Brain
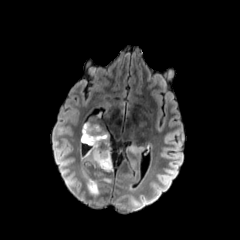
FLAIR MR.
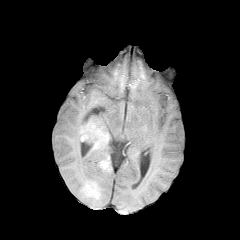
T1-weighted MR image.
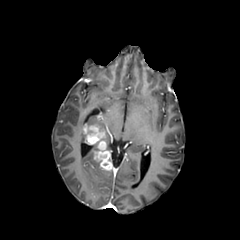
Same slice, post-contrast T1-weighted MRI.
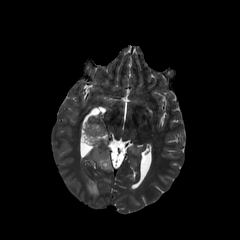
T2-weighted MR image.
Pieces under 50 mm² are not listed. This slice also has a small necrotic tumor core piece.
peritumoral_edema:
  - left=88, top=143, right=97, bottom=157
  - left=82, top=172, right=99, bottom=196
  - left=100, top=126, right=110, bottom=150
enhancing_tumor:
  - left=82, top=124, right=112, bottom=170